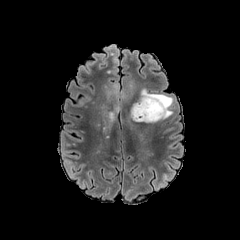
FLAIR magnetic resonance.
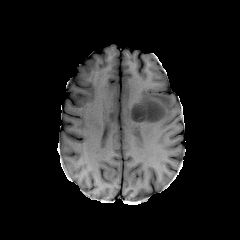
T1-weighted MRI.
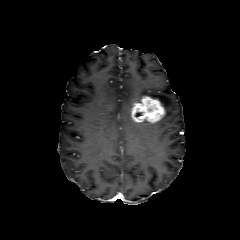
Post-contrast T1-weighted MRI.
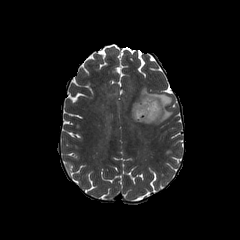
Same slice, T2-weighted MRI.
Axial slice | Image size 240x240
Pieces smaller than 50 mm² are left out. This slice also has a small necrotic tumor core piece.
The enhancing tumor is at bbox(131, 96, 165, 122). The largest peritumoral edema region appears at bbox(136, 88, 173, 122).